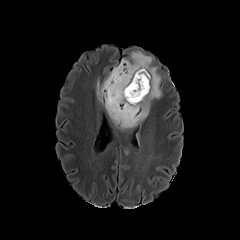
FLAIR MRI.
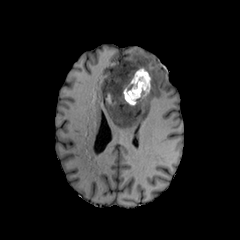
T1-weighted MRI.
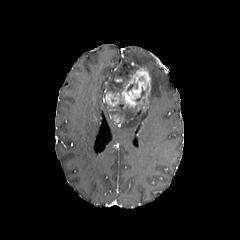
Same slice, post-contrast T1-weighted MRI.
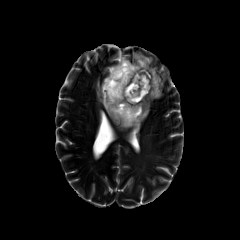
T2-weighted magnetic resonance.
Axial view | Image size 240x240 | Brain
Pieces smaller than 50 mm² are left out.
The 4 largest necrotic tumor core regions are bounded by <bbox>107, 63, 134, 94</bbox>, <bbox>126, 79, 137, 91</bbox>, <bbox>135, 87, 145, 101</bbox>, <bbox>111, 104, 137, 120</bbox>. The 2 largest peritumoral edema regions are located at <bbox>96, 76, 120, 126</bbox>, <bbox>119, 51, 162, 131</bbox>. The 2 largest enhancing tumor regions are bounded by <bbox>113, 113, 124, 122</bbox>, <bbox>105, 65, 150, 111</bbox>.